Slice index 65 | Head | Axial slice
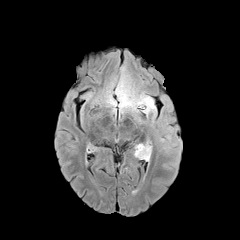
FLAIR magnetic resonance.
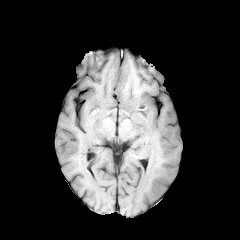
T1-weighted MR of the same slice.
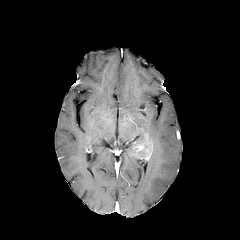
Post-contrast T1-weighted MRI of the same slice.
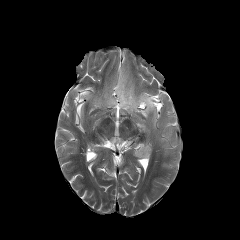
Same slice, T2-weighted MRI.
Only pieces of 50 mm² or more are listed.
The enhancing tumor is located at {"x1": 135, "y1": 144, "x2": 151, "y2": 159}. The 3 largest peritumoral edema regions are bounded by {"x1": 135, "y1": 137, "x2": 152, "y2": 151}, {"x1": 119, "y1": 85, "x2": 156, "y2": 127}, {"x1": 133, "y1": 147, "x2": 146, "y2": 159}.